FLAIR MR image.
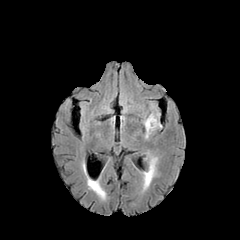
T1-weighted magnetic resonance.
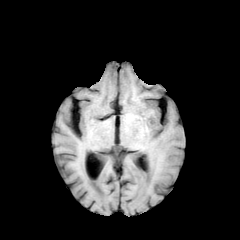
Post-contrast T1-weighted MR.
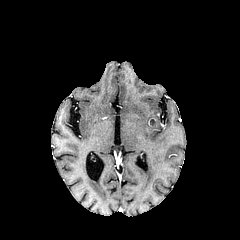
T2-weighted MRI.
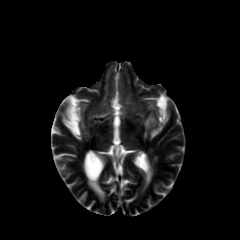
Brain
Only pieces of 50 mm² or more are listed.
peritumoral edema: 144:158:156:189, 144:115:156:137